Image width 240 mm, Brain
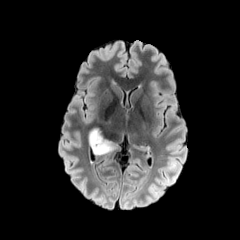
FLAIR MRI.
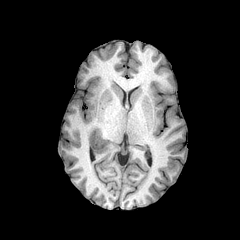
T1-weighted MRI of the same slice.
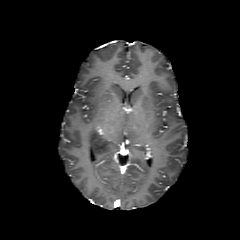
Post-contrast T1-weighted MRI.
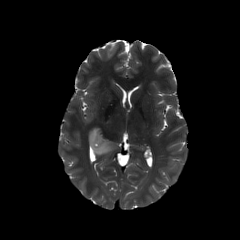
T2-weighted MR of the same slice.
The peritumoral edema is bounded by <box>88,124,121,155</box>.